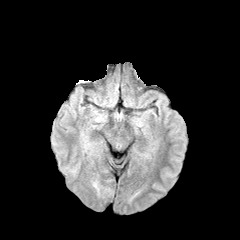
FLAIR magnetic resonance.
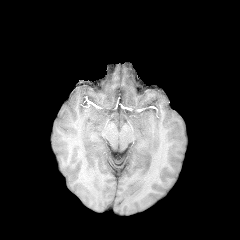
T1-weighted MRI.
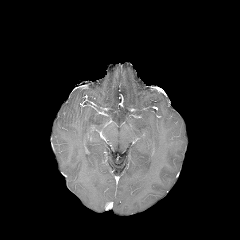
Post-contrast T1-weighted MRI.
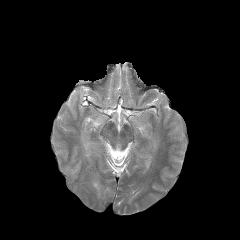
T2-weighted magnetic resonance.
240x240 px; Brain
Findings:
• peritumoral edema: 92, 180, 101, 195; 81, 134, 92, 149